FLAIR MRI.
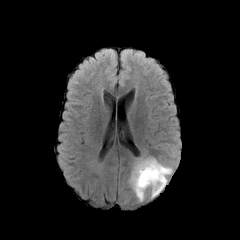
T1-weighted MRI.
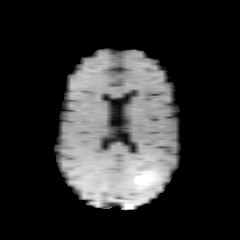
Post-contrast T1-weighted MR image.
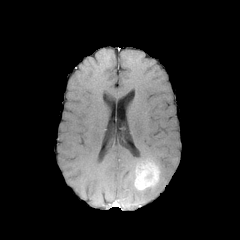
T2-weighted MR.
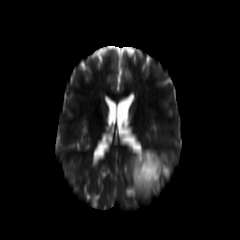
240x240.
Segmented structures:
• peritumoral edema: x1=129, y1=152, x2=172, y2=201
• enhancing tumor: x1=134, y1=160, x2=159, y2=190